Slice index 103. Brain.
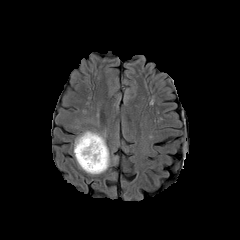
FLAIR MR image.
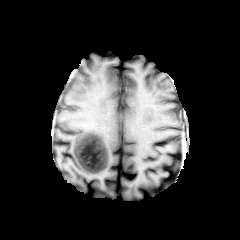
Same slice, T1-weighted magnetic resonance.
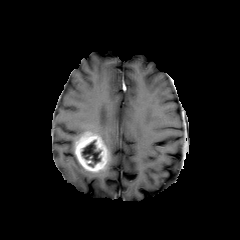
Post-contrast T1-weighted MRI of the same slice.
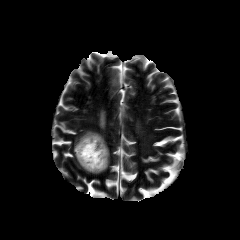
T2-weighted MR of the same slice.
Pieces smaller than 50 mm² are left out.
2 peritumoral edema regions appear at left=75, top=130, right=106, bottom=145; left=73, top=142, right=110, bottom=174. The necrotic tumor core is bounded by left=82, top=140, right=101, bottom=167. The largest enhancing tumor region is at left=75, top=132, right=109, bottom=172.